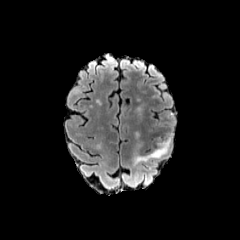
FLAIR MRI.
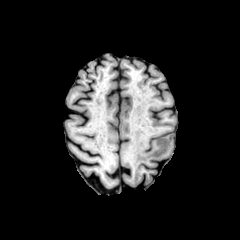
T1-weighted MR image.
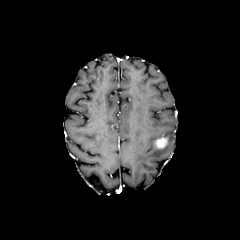
Post-contrast T1-weighted MR image.
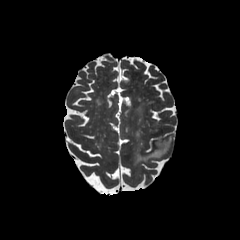
T2-weighted magnetic resonance.
enhancing tumor: bbox(155, 137, 167, 148)
peritumoral edema: bbox(130, 135, 171, 165)